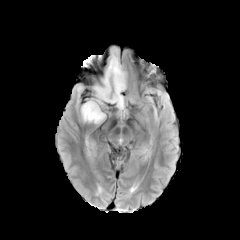
FLAIR MRI.
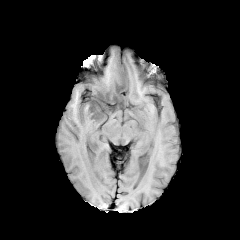
T1-weighted MRI.
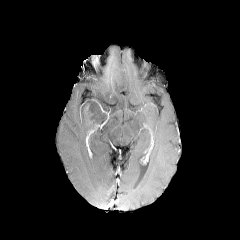
Post-contrast T1-weighted MRI.
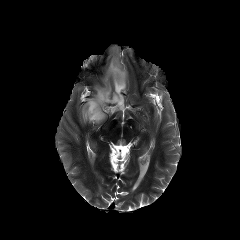
T2-weighted MRI of the same slice.
Head
The peritumoral edema is bounded by bbox(81, 47, 126, 123).